Axial plane.
FLAIR MRI.
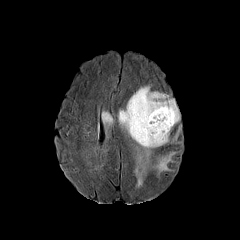
T1-weighted MRI.
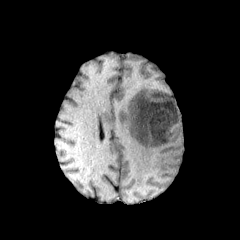
Post-contrast T1-weighted magnetic resonance.
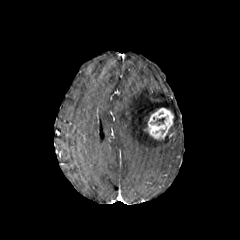
T2-weighted MRI.
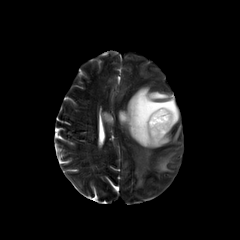
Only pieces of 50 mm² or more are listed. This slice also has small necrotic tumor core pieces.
The enhancing tumor is at box(143, 107, 174, 140). The 2 largest peritumoral edema regions are bounded by box(118, 86, 180, 186); box(102, 112, 112, 125).